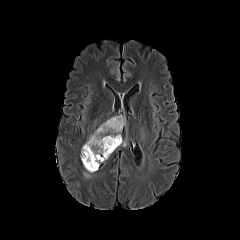
FLAIR MR.
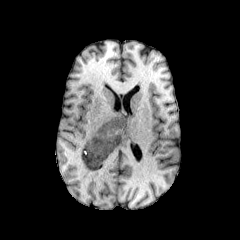
T1-weighted MR image.
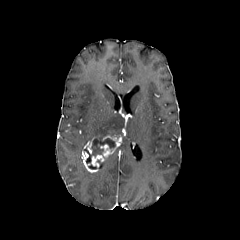
Post-contrast T1-weighted MR.
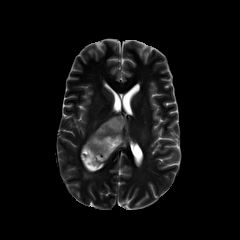
Same slice, T2-weighted MRI.
Axial view.
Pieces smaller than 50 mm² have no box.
The enhancing tumor appears at region(81, 135, 121, 172). The largest peritumoral edema region is at region(88, 115, 124, 140). The largest necrotic tumor core region lies within region(84, 136, 115, 163).